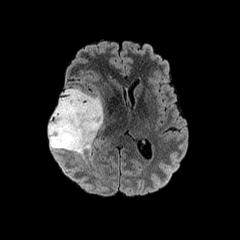
FLAIR MR image.
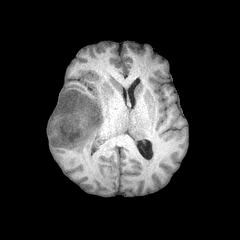
T1-weighted magnetic resonance of the same slice.
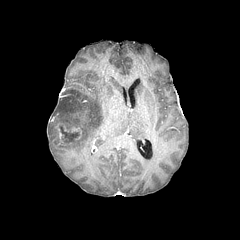
Post-contrast T1-weighted MRI.
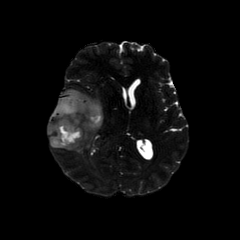
Same slice, T2-weighted magnetic resonance.
Brain | Axial view
necrotic tumor core at bbox(60, 127, 78, 141)
peritumoral edema at bbox(48, 88, 103, 154)
enhancing tumor at bbox(53, 122, 81, 144)